FLAIR MRI.
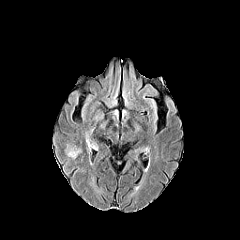
T1-weighted magnetic resonance.
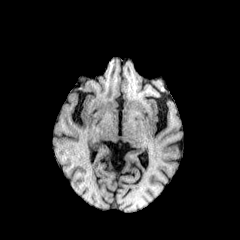
Post-contrast T1-weighted MRI.
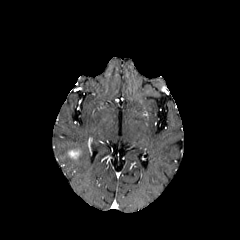
T2-weighted MRI.
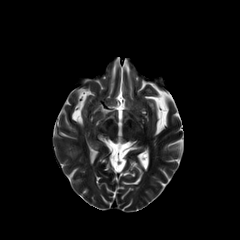
Brain
peritumoral edema at box(64, 143, 82, 154)
enhancing tumor at box(67, 148, 81, 158)